Head; Image width 240 mm, 1.00 mm slice spacing; Axial view; 240x240
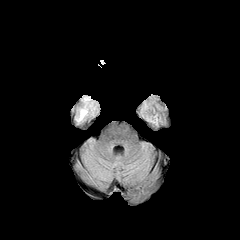
FLAIR MR.
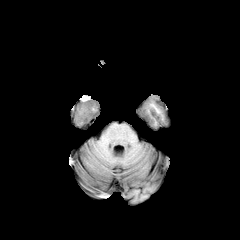
T1-weighted MR.
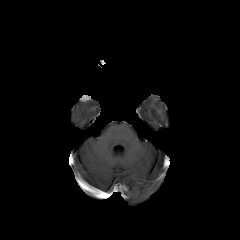
Post-contrast T1-weighted MRI of the same slice.
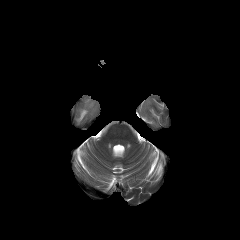
Same slice, T2-weighted magnetic resonance.
peritumoral_edema:
  - (76,97,93,122)